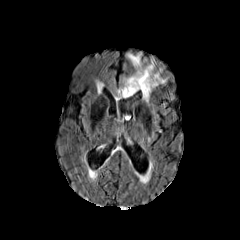
FLAIR MRI.
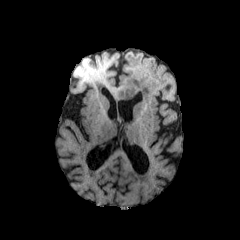
T1-weighted MR image.
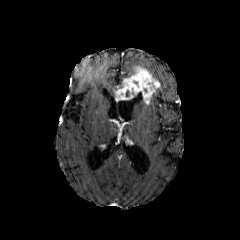
Post-contrast T1-weighted MR.
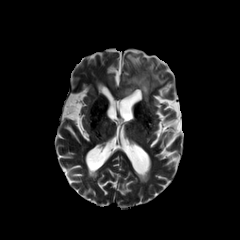
T2-weighted MR image.
240x240 px
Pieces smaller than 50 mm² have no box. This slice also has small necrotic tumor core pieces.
<segmentation>
  <enhancing_tumor>(left=115, top=66, right=160, bottom=104)</enhancing_tumor>
  <peritumoral_edema>(left=127, top=53, right=166, bottom=84)</peritumoral_edema>
</segmentation>